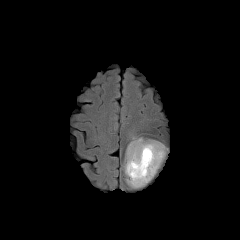
FLAIR MR.
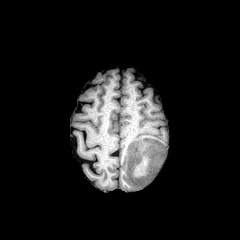
T1-weighted MRI.
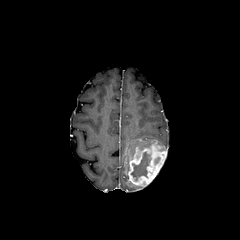
Post-contrast T1-weighted MR image.
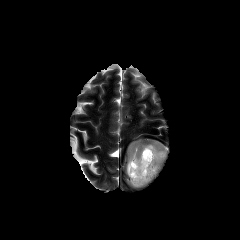
T2-weighted MRI.
Axial plane; Brain
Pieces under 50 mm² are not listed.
enhancing_tumor:
  - 125 141 167 186
peritumoral_edema:
  - 124 137 155 171
necrotic_tumor_core:
  - 131 152 149 179